Slice 71/155, Axial view
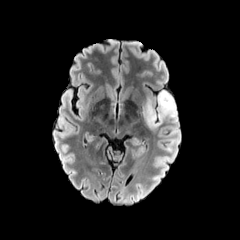
FLAIR MRI.
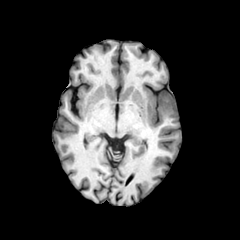
Same slice, T1-weighted MR image.
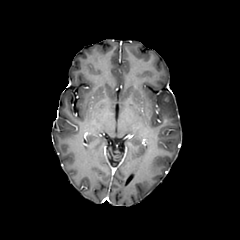
Post-contrast T1-weighted MRI of the same slice.
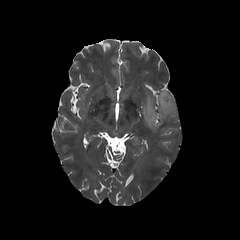
T2-weighted MR image of the same slice.
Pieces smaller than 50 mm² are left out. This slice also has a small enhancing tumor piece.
peritumoral edema: <box>142,90,177,128</box>